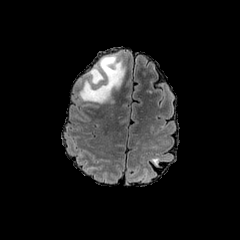
FLAIR MRI.
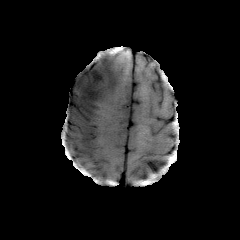
T1-weighted MRI.
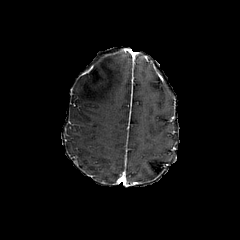
Post-contrast T1-weighted magnetic resonance.
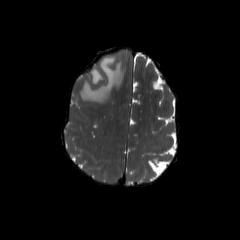
Same slice, T2-weighted MRI.
Brain
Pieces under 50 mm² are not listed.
The largest peritumoral edema region is bounded by rect(79, 54, 125, 103).